FLAIR magnetic resonance.
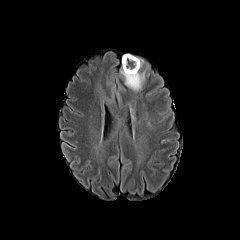
T1-weighted MR.
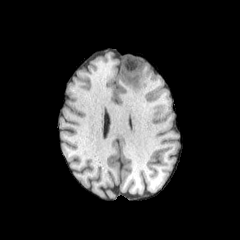
Post-contrast T1-weighted magnetic resonance.
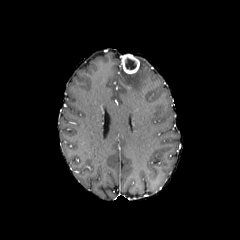
T2-weighted magnetic resonance.
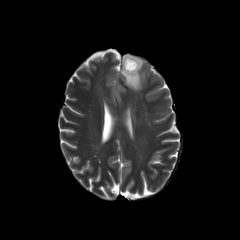
240x240.
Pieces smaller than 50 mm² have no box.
Findings:
- necrotic tumor core: x1=125 y1=57 x2=136 y2=70
- peritumoral edema: x1=120 y1=69 x2=145 y2=91
- enhancing tumor: x1=122 y1=54 x2=139 y2=73